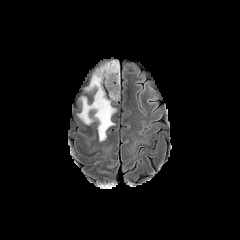
FLAIR MR image.
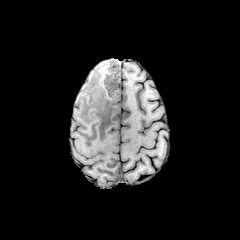
T1-weighted magnetic resonance.
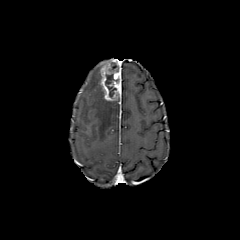
Same slice, post-contrast T1-weighted MRI.
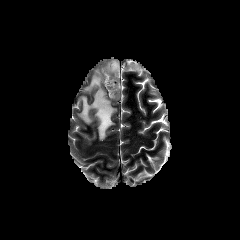
Same slice, T2-weighted MR image.
Head
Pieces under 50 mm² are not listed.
peritumoral edema: [x1=78, y1=67, x2=116, y2=141] | enhancing tumor: [x1=100, y1=59, x2=121, y2=101] | necrotic tumor core: [x1=107, y1=86, x2=116, y2=97], [x1=105, y1=74, x2=113, y2=85]